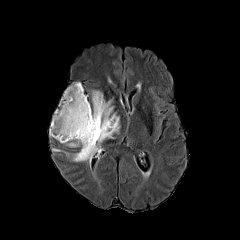
FLAIR MR image.
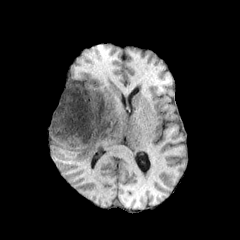
T1-weighted MR of the same slice.
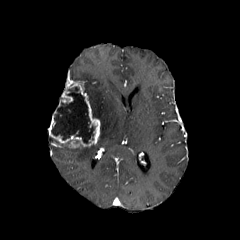
Post-contrast T1-weighted MRI.
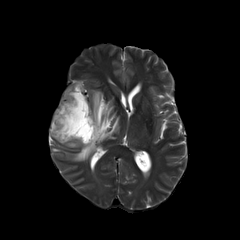
T2-weighted MRI.
Head.
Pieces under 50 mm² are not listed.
Segmented structures:
- enhancing tumor: [48, 82, 100, 148]
- necrotic tumor core: [51, 87, 94, 143]
- peritumoral edema: [71, 90, 119, 162]